Image width 240 mm, 1.00 mm slice spacing | Head | Slice index 92
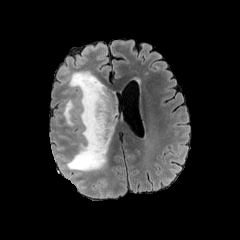
FLAIR magnetic resonance.
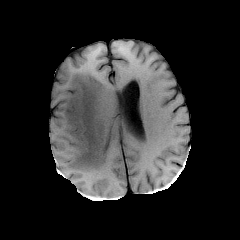
T1-weighted MR image.
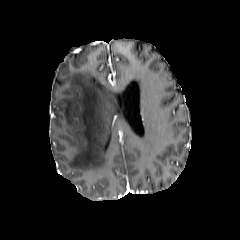
Post-contrast T1-weighted MRI of the same slice.
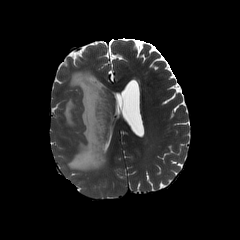
Same slice, T2-weighted MR image.
peritumoral_edema:
  - rect(63, 71, 117, 175)